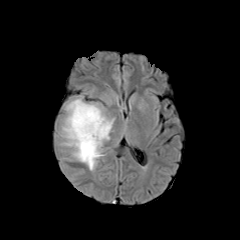
FLAIR MRI.
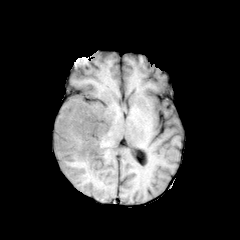
T1-weighted MRI of the same slice.
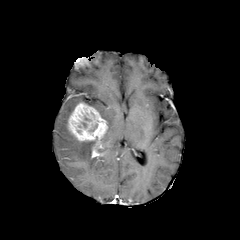
Post-contrast T1-weighted magnetic resonance of the same slice.
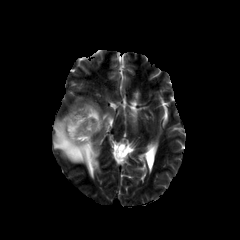
Same slice, T2-weighted magnetic resonance.
Image size 240x240
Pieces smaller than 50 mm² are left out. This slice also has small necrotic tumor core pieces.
enhancing tumor: bounding box x1=67, y1=102, x2=107, y2=157
peritumoral edema: bounding box x1=55, y1=96, x2=115, y2=172